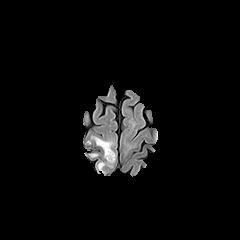
FLAIR MR.
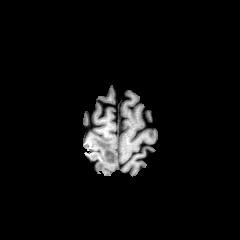
T1-weighted MRI of the same slice.
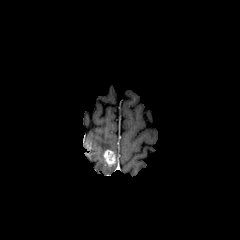
Post-contrast T1-weighted MRI.
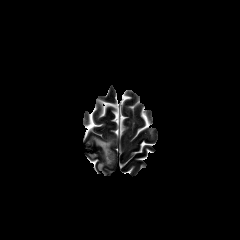
Same slice, T2-weighted magnetic resonance.
240x240
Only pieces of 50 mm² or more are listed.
peritumoral_edema:
  - x1=97 y1=160 x2=107 y2=173
  - x1=87 y1=136 x2=114 y2=151
enhancing_tumor:
  - x1=103 y1=149 x2=115 y2=166